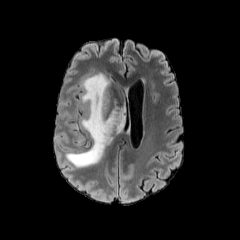
FLAIR MR image.
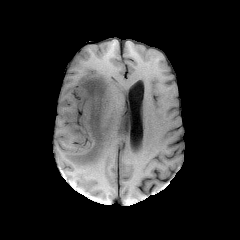
T1-weighted MR image.
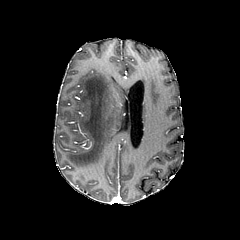
Same slice, post-contrast T1-weighted MRI.
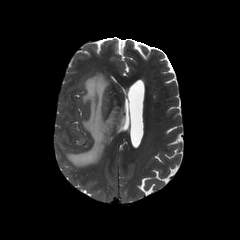
T2-weighted MRI of the same slice.
Axial plane
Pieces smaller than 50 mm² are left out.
The largest peritumoral edema region appears at [66, 72, 124, 167].